FLAIR magnetic resonance.
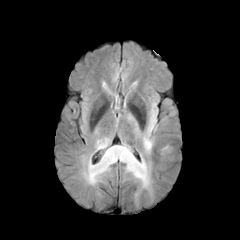
T1-weighted MR.
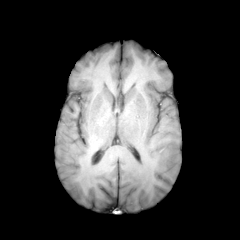
Post-contrast T1-weighted MRI.
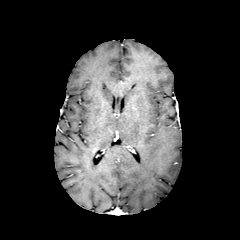
T2-weighted MRI.
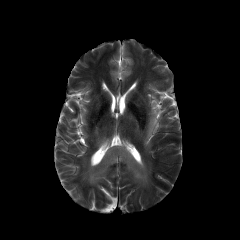
240x240. Axial plane.
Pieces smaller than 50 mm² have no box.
peritumoral edema: bounding box (left=143, top=111, right=155, bottom=151), (left=85, top=143, right=150, bottom=189), (left=97, top=138, right=109, bottom=148)